FLAIR MRI.
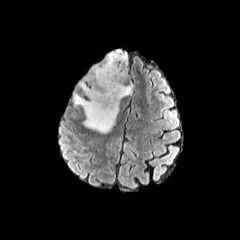
T1-weighted MR.
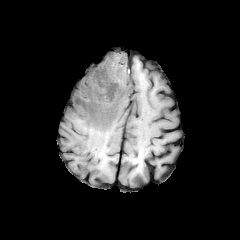
Post-contrast T1-weighted MRI.
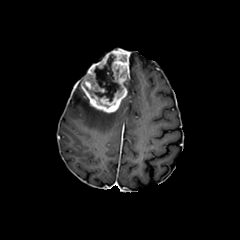
T2-weighted magnetic resonance.
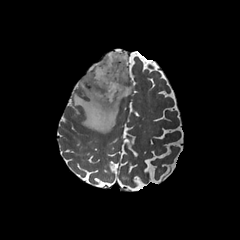
Head
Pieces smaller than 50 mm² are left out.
necrotic tumor core: (x1=97, y1=98, x2=115, y2=107), (x1=85, y1=54, x2=123, y2=101) | peritumoral edema: (x1=73, y1=91, x2=119, y2=132), (x1=126, y1=84, x2=132, y2=95) | enhancing tumor: (x1=80, y1=48, x2=129, y2=113)